FLAIR MR image.
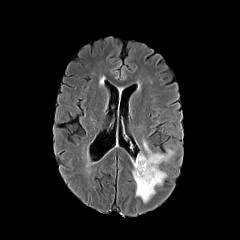
T1-weighted MR image.
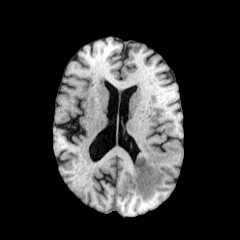
Post-contrast T1-weighted magnetic resonance.
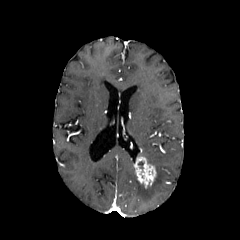
T2-weighted MR image.
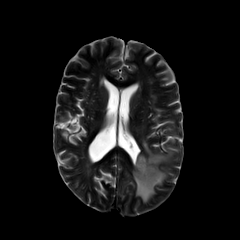
Head
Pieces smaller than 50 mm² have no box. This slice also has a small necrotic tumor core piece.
The peritumoral edema is bounded by region(132, 139, 173, 202). The enhancing tumor is bounded by region(133, 155, 156, 188).